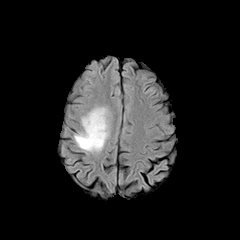
FLAIR MR.
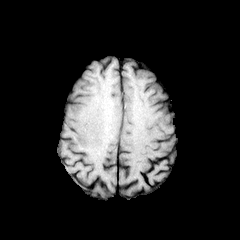
T1-weighted MR.
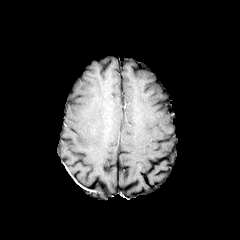
Post-contrast T1-weighted magnetic resonance of the same slice.
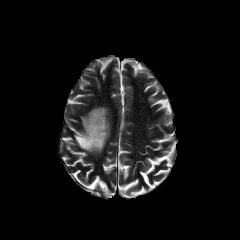
T2-weighted MR of the same slice.
Axial slice, Image size 240x240, Brain
The peritumoral edema is bounded by l=74, t=107, r=109, b=152.